FLAIR MRI.
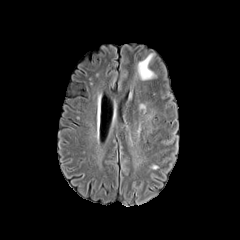
T1-weighted MR image.
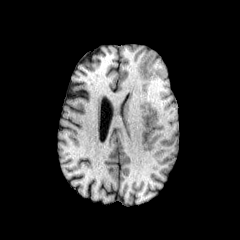
Post-contrast T1-weighted MR image.
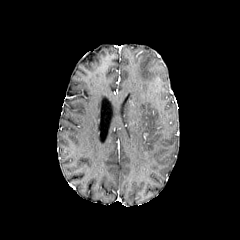
T2-weighted MRI.
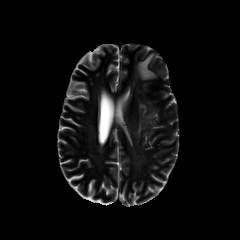
Head; Axial view; Image size 240x240
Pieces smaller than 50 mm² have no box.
{
  "peritumoral_edema": [
    "box=[138, 54, 155, 79]"
  ]
}